240x240, Axial slice
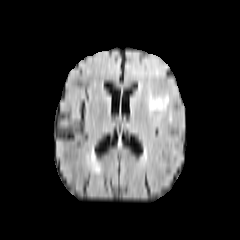
FLAIR MR.
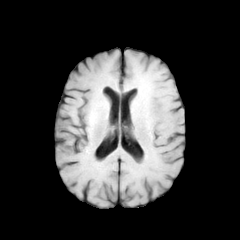
T1-weighted MRI.
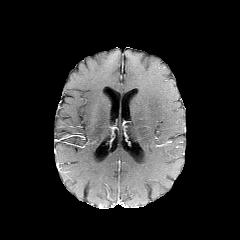
Post-contrast T1-weighted MR image.
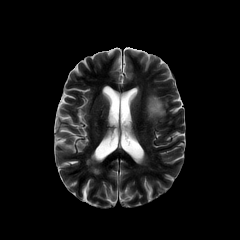
T2-weighted MR.
peritumoral_edema:
  - x1=148, y1=96, x2=167, y2=114